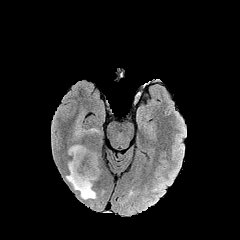
FLAIR MRI.
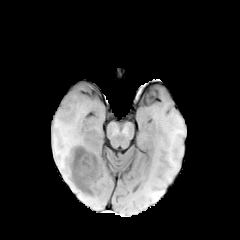
Same slice, T1-weighted magnetic resonance.
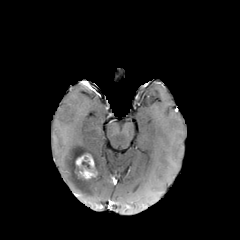
Post-contrast T1-weighted MR.
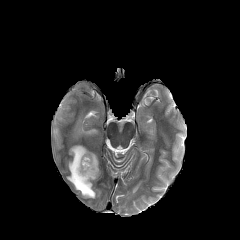
Same slice, T2-weighted MR image.
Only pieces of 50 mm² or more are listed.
enhancing tumor: bounding box l=75, t=153, r=97, b=179
necrotic tumor core: bounding box l=82, t=161, r=90, b=169
peritumoral edema: bounding box l=66, t=144, r=99, b=199; l=75, t=125, r=98, b=137